FLAIR MR.
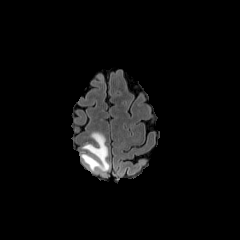
T1-weighted MR image.
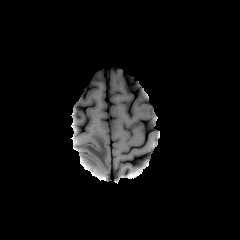
Post-contrast T1-weighted MRI.
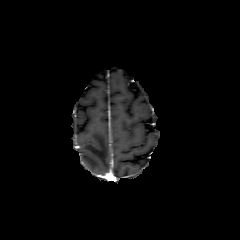
T2-weighted MR.
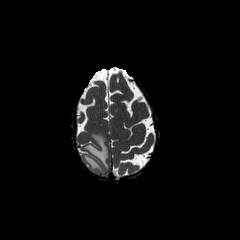
240x240
Segmented structures:
* peritumoral edema: (x1=81, y1=132, x2=109, y2=175)